Axial view, Image size 240x240, Slice index 134, Brain
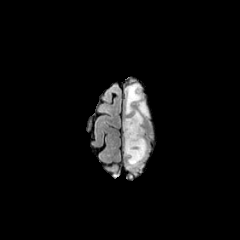
FLAIR MRI.
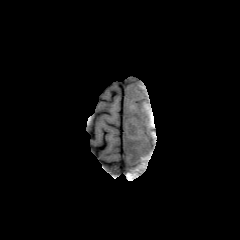
T1-weighted MR image.
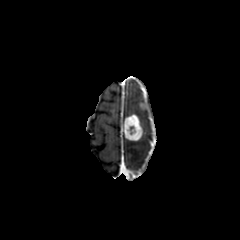
Post-contrast T1-weighted MR.
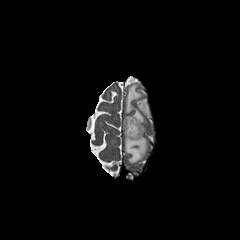
Same slice, T2-weighted MR image.
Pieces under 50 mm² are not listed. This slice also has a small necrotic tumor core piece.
peritumoral_edema:
  - <box>125,83,148,126</box>
  - <box>125,137,148,165</box>
enhancing_tumor:
  - <box>123,114,142,140</box>